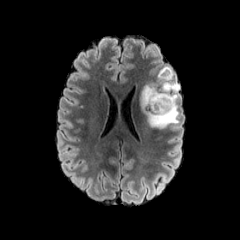
FLAIR MR.
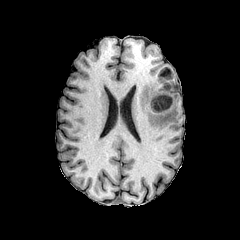
T1-weighted MR image.
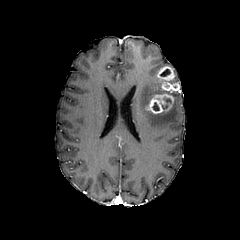
Post-contrast T1-weighted MR image.
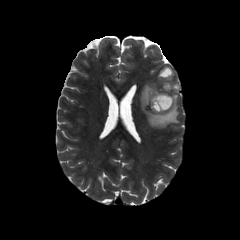
Same slice, T2-weighted MR.
Axial view
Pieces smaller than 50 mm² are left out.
necrotic tumor core = (160, 69, 170, 76)
peritumoral edema = (138, 80, 179, 130)
enhancing tumor = (157, 66, 179, 91), (145, 93, 174, 115)